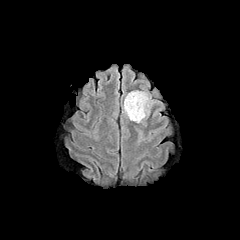
FLAIR magnetic resonance.
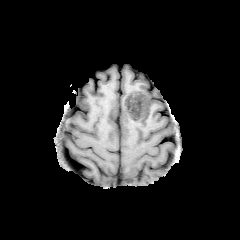
Same slice, T1-weighted MRI.
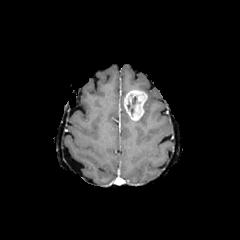
Post-contrast T1-weighted MR image.
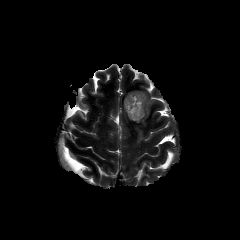
Same slice, T2-weighted MR.
Axial slice. Brain. 240x240 px.
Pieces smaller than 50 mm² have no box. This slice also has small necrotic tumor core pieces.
The enhancing tumor appears at left=124, top=90, right=147, bottom=120. The largest peritumoral edema region lies within left=134, top=92, right=154, bottom=122.